Brain
FLAIR MR image.
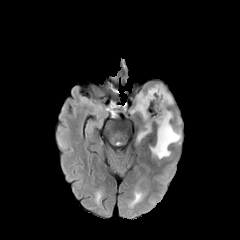
T1-weighted magnetic resonance.
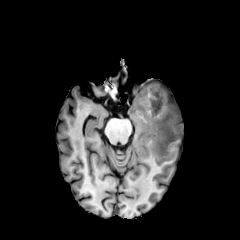
Post-contrast T1-weighted MR image.
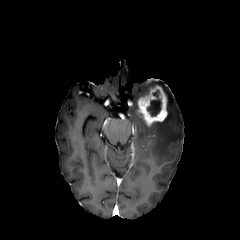
T2-weighted MRI.
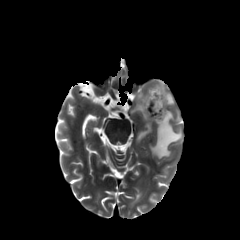
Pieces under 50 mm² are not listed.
<segmentation>
  <enhancing_tumor>[138, 85, 167, 126]</enhancing_tumor>
  <peritumoral_edema>[158, 85, 173, 104], [150, 111, 181, 158], [137, 125, 151, 142]</peritumoral_edema>
  <necrotic_tumor_core>[147, 90, 161, 116]</necrotic_tumor_core>
</segmentation>